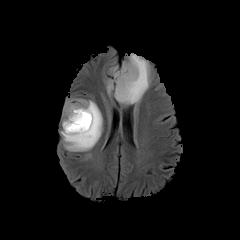
FLAIR MR.
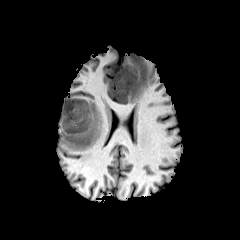
T1-weighted MRI.
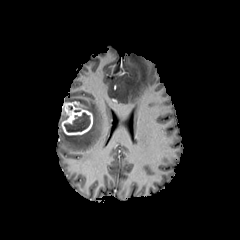
Same slice, post-contrast T1-weighted MRI.
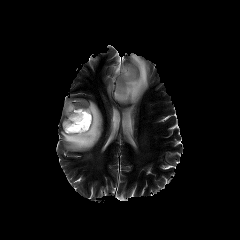
T2-weighted magnetic resonance.
240x240
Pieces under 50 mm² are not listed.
The 3 largest peritumoral edema regions appear at (left=109, top=66, right=119, bottom=73), (left=60, top=99, right=102, bottom=151), (left=106, top=53, right=150, bottom=104). The enhancing tumor is bounded by (left=62, top=101, right=92, bottom=135). The largest necrotic tumor core region is bounded by (left=64, top=112, right=90, bottom=132).